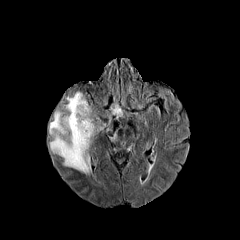
FLAIR MRI.
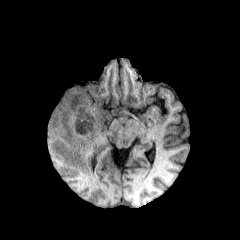
T1-weighted MRI.
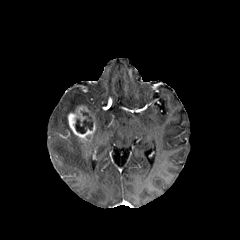
Same slice, post-contrast T1-weighted magnetic resonance.
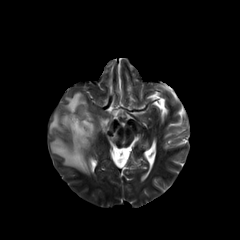
T2-weighted MRI.
Head. 240x240.
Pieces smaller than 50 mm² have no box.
The largest necrotic tumor core region is bounded by l=75, t=111, r=93, b=133. The largest enhancing tumor region is located at l=67, t=105, r=95, b=144. The 2 largest peritumoral edema regions are located at l=49, t=110, r=91, b=173; l=64, t=92, r=91, b=112.